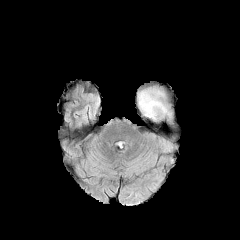
FLAIR MRI.
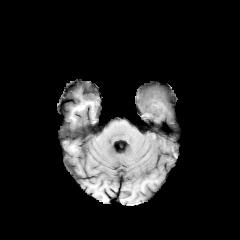
T1-weighted MR.
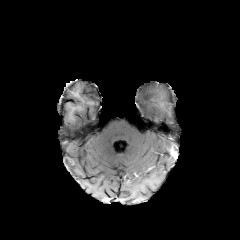
Post-contrast T1-weighted MR of the same slice.
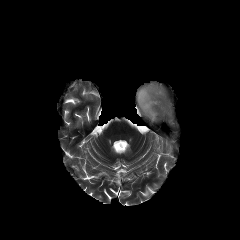
T2-weighted magnetic resonance.
Brain. Axial plane.
peritumoral edema: bounding box (136, 82, 179, 130)